Slice 132 of 155, 240x240 px
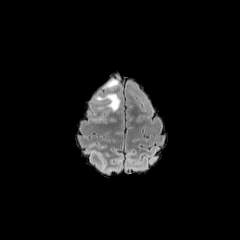
FLAIR MR.
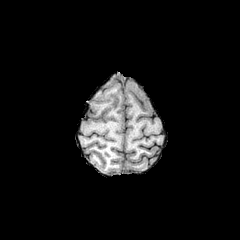
T1-weighted MRI.
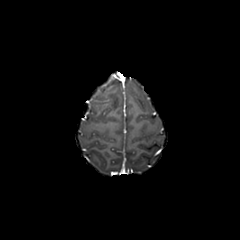
Post-contrast T1-weighted MR of the same slice.
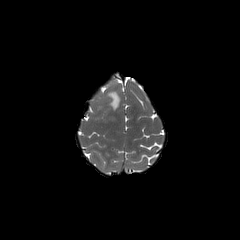
T2-weighted MR image of the same slice.
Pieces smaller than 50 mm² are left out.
{"peritumoral_edema": ["x1=95 y1=93 x2=120 y2=110", "x1=105 y1=79 x2=117 y2=88"]}